FLAIR MRI.
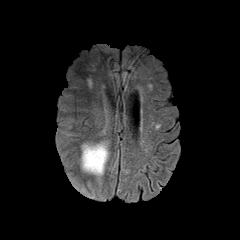
T1-weighted MR image.
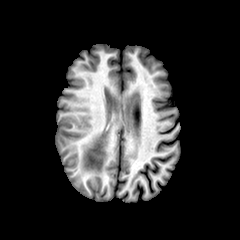
Post-contrast T1-weighted MRI.
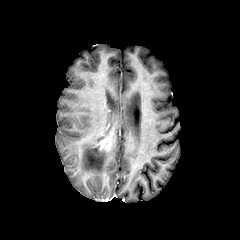
T2-weighted MR image.
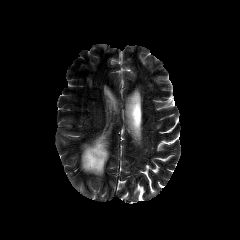
Image size 240x240, Axial slice
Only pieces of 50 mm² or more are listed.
<segmentation>
  <peritumoral_edema>[81, 143, 109, 179]</peritumoral_edema>
  <enhancing_tumor>[96, 139, 108, 150]</enhancing_tumor>
</segmentation>